Axial slice, Image covers 240 mm x 240 mm
FLAIR MR image.
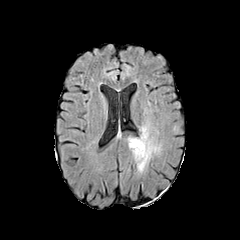
T1-weighted MRI.
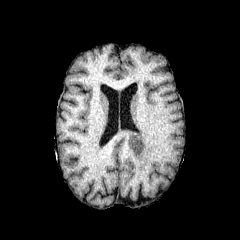
Post-contrast T1-weighted magnetic resonance.
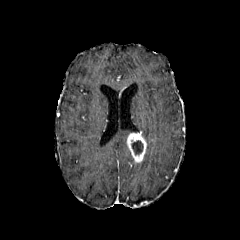
T2-weighted magnetic resonance.
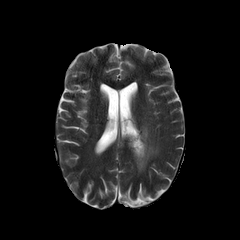
Findings:
- necrotic tumor core: [x1=132, y1=141, x2=142, y2=154]
- peritumoral edema: [x1=136, y1=126, x2=159, y2=172]
- enhancing tumor: [x1=127, y1=133, x2=146, y2=163]